Slice 32/155, 240x240 px
FLAIR MR image.
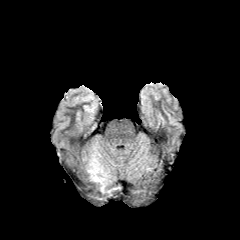
T1-weighted MR.
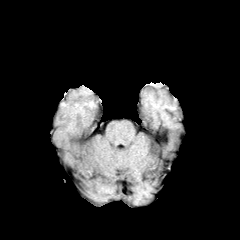
Post-contrast T1-weighted MR.
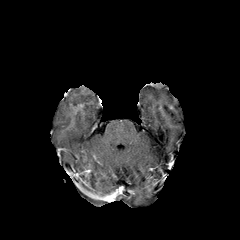
T2-weighted MRI.
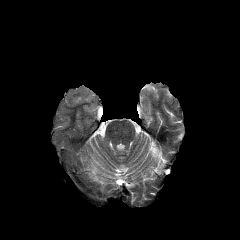
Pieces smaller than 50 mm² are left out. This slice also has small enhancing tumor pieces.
{"peritumoral_edema": ["89, 147, 108, 193"]}